FLAIR MR image.
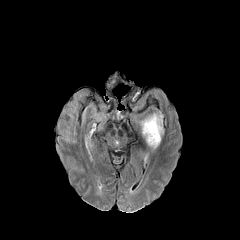
T1-weighted MR image.
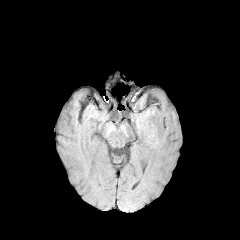
Post-contrast T1-weighted MR.
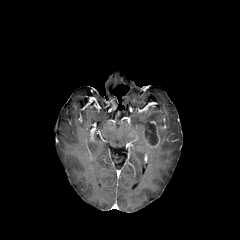
T2-weighted MR image.
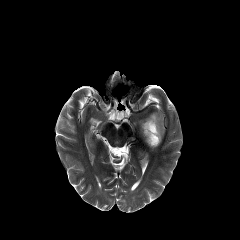
Image size 240x240
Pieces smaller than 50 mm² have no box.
necrotic_tumor_core:
  - <bbox>143, 121, 158, 145</bbox>
peritumoral_edema:
  - <bbox>140, 112, 163, 141</bbox>
enhancing_tumor:
  - <bbox>142, 120, 163, 147</bbox>